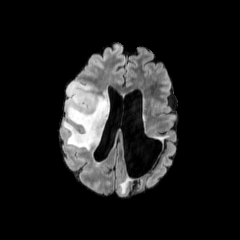
FLAIR MR image.
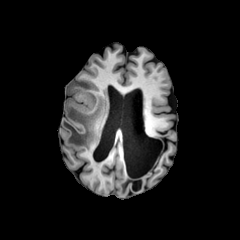
T1-weighted magnetic resonance.
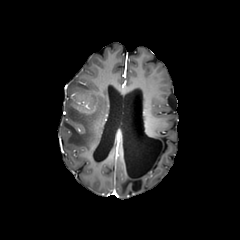
Post-contrast T1-weighted MR.
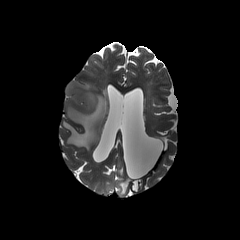
T2-weighted MRI.
Axial view
peritumoral_edema:
  - l=62, t=81, r=109, b=150
enhancing_tumor:
  - l=76, t=101, r=89, b=108